Slice index 56. Axial view. 240x240.
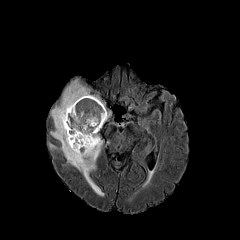
FLAIR MR.
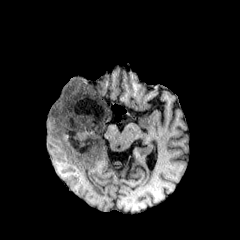
T1-weighted MRI.
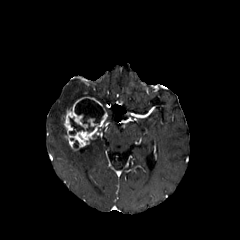
Post-contrast T1-weighted MR of the same slice.
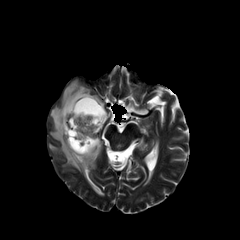
Same slice, T2-weighted MR image.
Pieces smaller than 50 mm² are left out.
necrotic tumor core — 69:118:84:134, 75:98:104:131
enhancing tumor — 62:96:107:150
peritumoral edema — 49:79:104:196